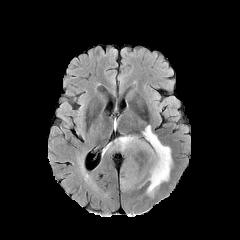
FLAIR MR image.
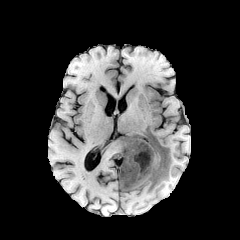
T1-weighted MR image.
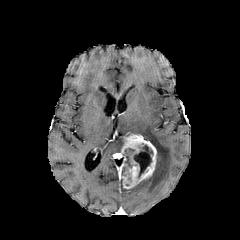
Post-contrast T1-weighted MRI.
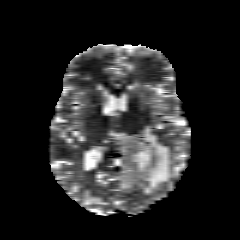
T2-weighted MR.
Head
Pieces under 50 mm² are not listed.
The 2 largest peritumoral edema regions are bounded by <bbox>142, 125, 172, 195</bbox>, <bbox>115, 137, 123, 149</bbox>. The enhancing tumor appears at <bbox>120, 134, 156, 189</bbox>. The necrotic tumor core is located at <bbox>134, 145, 152, 177</bbox>.